FLAIR MRI.
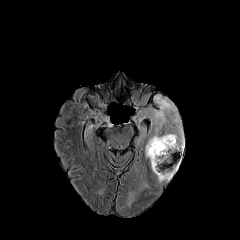
T1-weighted MRI.
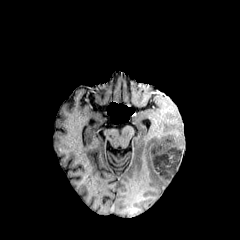
Post-contrast T1-weighted MRI.
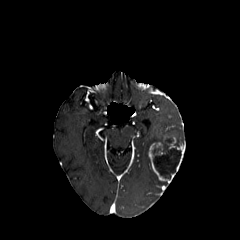
T2-weighted MR.
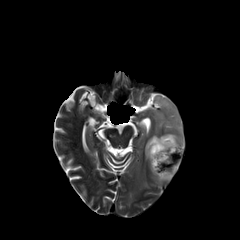
Head
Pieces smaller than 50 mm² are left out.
<segmentation>
  <necrotic_tumor_core>x1=153 y1=137 x2=181 y2=178</necrotic_tumor_core>
  <peritumoral_edema>x1=145 y1=96 x2=184 y2=157</peritumoral_edema>
  <enhancing_tumor>x1=148 y1=142 x2=175 y2=182, x1=163 y1=136 x2=184 y2=171</enhancing_tumor>
</segmentation>